FLAIR MRI.
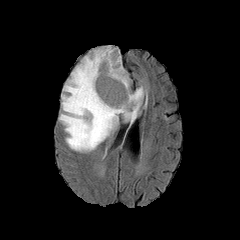
T1-weighted MRI.
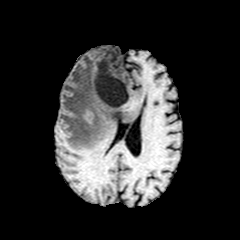
Post-contrast T1-weighted MRI.
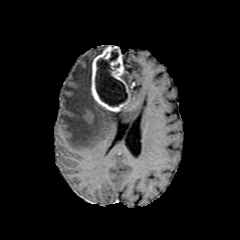
T2-weighted magnetic resonance.
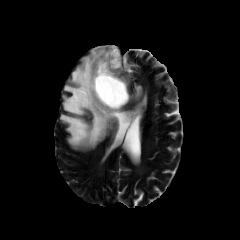
240x240 px | Brain
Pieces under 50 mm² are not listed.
enhancing tumor — box=[91, 45, 130, 111]
peritumoral edema — box=[59, 46, 143, 151]; box=[122, 73, 129, 87]
necrotic tumor core — box=[95, 49, 127, 106]